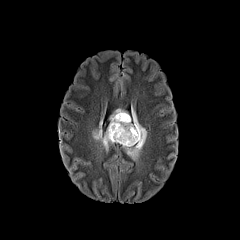
FLAIR MR.
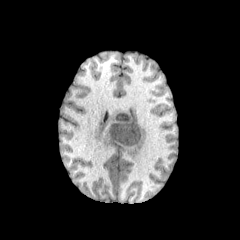
T1-weighted MR image.
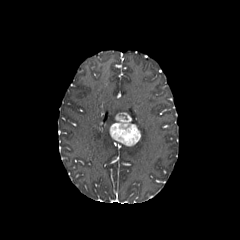
Post-contrast T1-weighted MR.
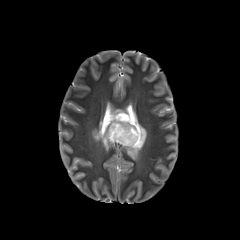
T2-weighted MR image of the same slice.
Head. Axial view.
2 peritumoral edema regions are bounded by (left=123, top=108, right=146, bottom=160), (left=92, top=109, right=124, bottom=150). The enhancing tumor is located at (left=109, top=112, right=140, bottom=146).